Slice 42/155; Axial plane
FLAIR MRI.
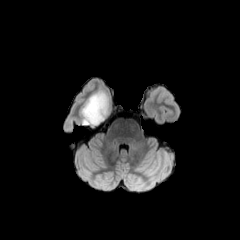
T1-weighted MR image.
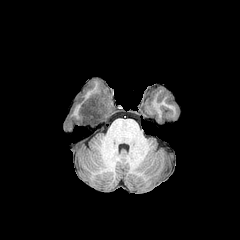
Post-contrast T1-weighted MRI.
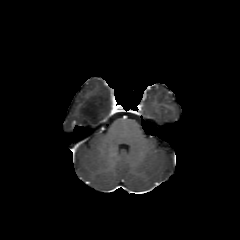
T2-weighted MRI.
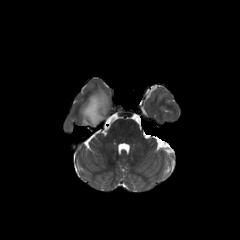
The peritumoral edema is at 80:90:110:133.